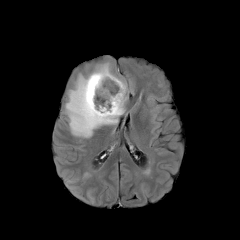
FLAIR MR.
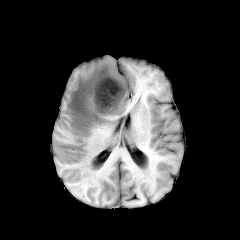
Same slice, T1-weighted MR image.
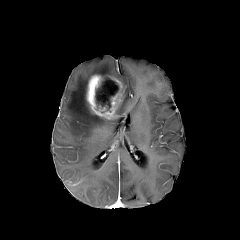
Post-contrast T1-weighted MR image.
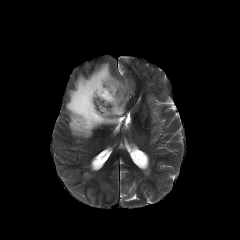
T2-weighted magnetic resonance of the same slice.
Axial slice
necrotic_tumor_core:
  - x1=95, y1=78, x2=118, y2=109
enhancing_tumor:
  - x1=86, y1=74, x2=125, y2=119
peritumoral_edema:
  - x1=65, y1=58, x2=128, y2=137